Slice index 103. Head. 240x240 px.
FLAIR MRI.
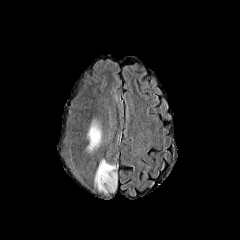
T1-weighted magnetic resonance.
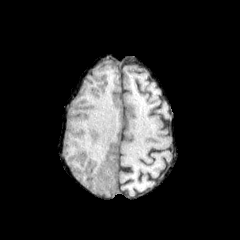
Post-contrast T1-weighted MRI.
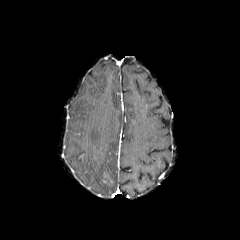
T2-weighted MR.
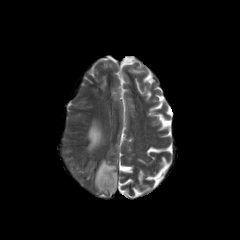
peritumoral_edema:
  - left=85, top=117, right=101, bottom=151
  - left=95, top=158, right=117, bottom=195
enhancing_tumor:
  - left=103, top=173, right=112, bottom=183